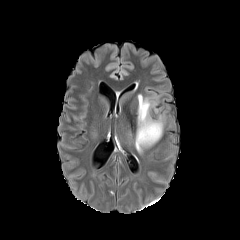
FLAIR magnetic resonance.
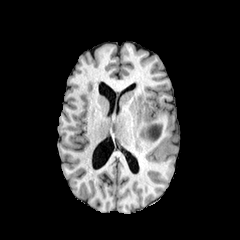
T1-weighted MRI.
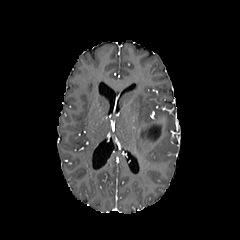
Post-contrast T1-weighted magnetic resonance.
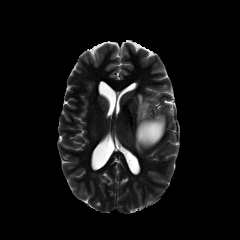
Same slice, T2-weighted magnetic resonance.
Axial slice. Head.
{
  "peritumoral_edema": [
    "rect(128, 92, 166, 154)"
  ]
}